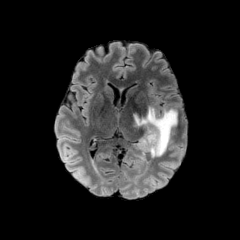
FLAIR magnetic resonance.
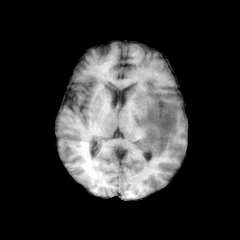
T1-weighted MR image.
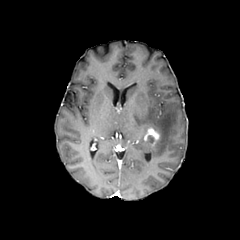
Same slice, post-contrast T1-weighted MR.
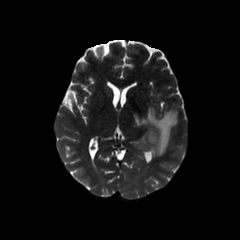
T2-weighted magnetic resonance.
240x240
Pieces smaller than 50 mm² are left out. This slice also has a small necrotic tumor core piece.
The peritumoral edema is bounded by <box>135,107,177,156</box>. The enhancing tumor lies within <box>144,126,160,146</box>.